Image size 240x240, Slice 105/155, Axial plane
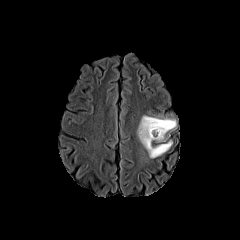
FLAIR MR image.
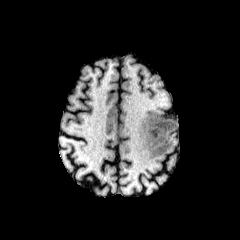
T1-weighted MR.
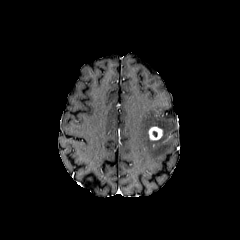
Post-contrast T1-weighted magnetic resonance.
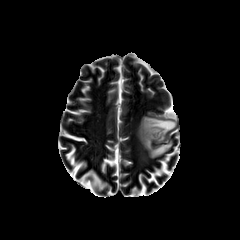
T2-weighted MR image.
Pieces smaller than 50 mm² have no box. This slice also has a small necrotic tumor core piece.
peritumoral edema — [137,116,176,158]
enhancing tumor — [148,126,162,140]